Head | Image size 240x240
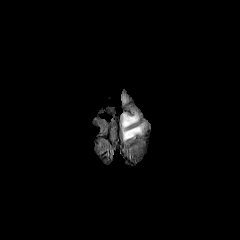
FLAIR MR image.
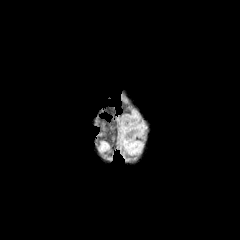
Same slice, T1-weighted MR.
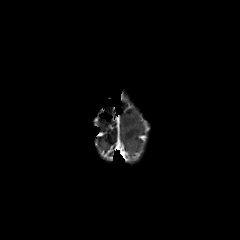
Post-contrast T1-weighted MR image of the same slice.
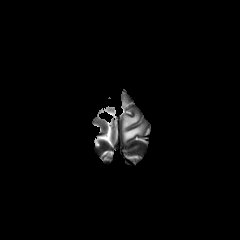
T2-weighted magnetic resonance.
peritumoral_edema:
  - [120, 111, 146, 142]